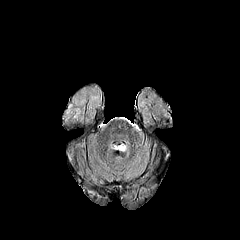
FLAIR magnetic resonance.
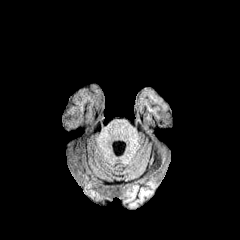
T1-weighted MR image.
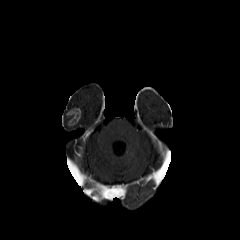
Same slice, post-contrast T1-weighted MR.
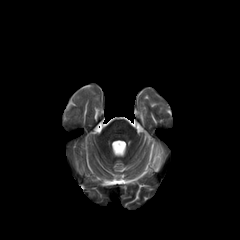
Same slice, T2-weighted MR.
Axial plane. Head.
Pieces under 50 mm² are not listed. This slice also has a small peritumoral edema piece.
{"enhancing_tumor": ["rect(67, 108, 80, 125)"]}